FLAIR magnetic resonance.
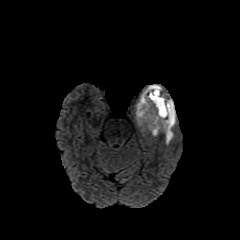
T1-weighted MR.
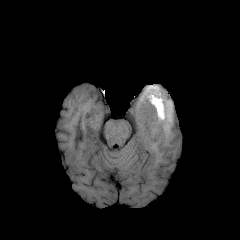
Post-contrast T1-weighted magnetic resonance.
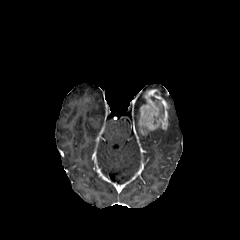
T2-weighted MR image.
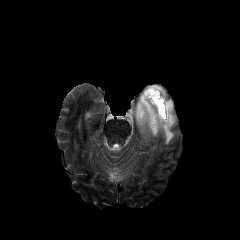
Image size 240x240
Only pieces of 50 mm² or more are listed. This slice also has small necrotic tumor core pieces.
{"peritumoral_edema": ["(x1=135, y1=84, x2=176, y2=144)"], "enhancing_tumor": ["(x1=138, y1=89, x2=168, y2=134)"]}